Slice index 82, Image size 240x240
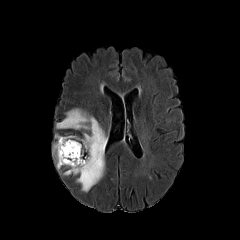
FLAIR MRI.
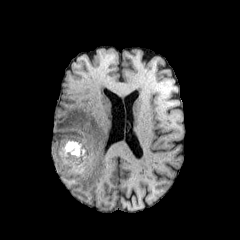
T1-weighted MR image of the same slice.
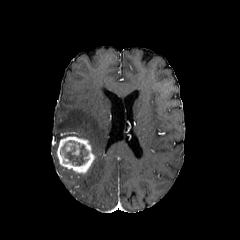
Post-contrast T1-weighted MR of the same slice.
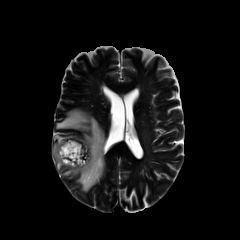
T2-weighted MR image.
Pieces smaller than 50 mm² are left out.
enhancing tumor — (x1=57, y1=136, x2=95, y2=173)
peritumoral edema — (x1=53, y1=134, x2=64, y2=169), (x1=56, y1=108, x2=107, y2=192), (x1=63, y1=169, x2=77, y2=175)
necrotic tumor core — (x1=62, y1=141, x2=87, y2=165)